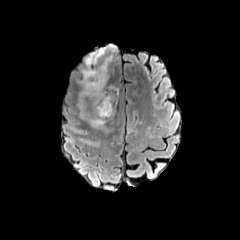
FLAIR MRI.
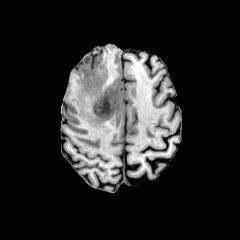
Same slice, T1-weighted MRI.
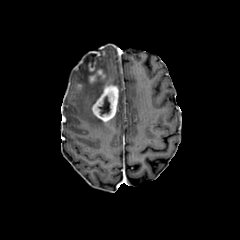
Post-contrast T1-weighted MR.
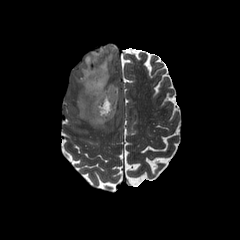
T2-weighted MR image.
Brain
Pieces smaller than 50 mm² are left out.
Annotated regions:
• peritumoral edema: bbox=[89, 116, 105, 127]; bbox=[79, 100, 86, 118]; bbox=[78, 50, 112, 103]
• enhancing tumor: bbox=[92, 84, 118, 121]; bbox=[89, 69, 105, 83]
• necrotic tumor core: bbox=[98, 96, 110, 115]